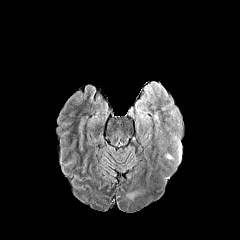
FLAIR magnetic resonance.
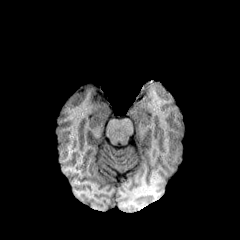
Same slice, T1-weighted MR.
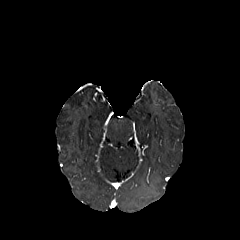
Same slice, post-contrast T1-weighted magnetic resonance.
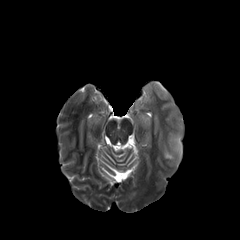
T2-weighted MRI.
Axial view; Brain; 240x240 px
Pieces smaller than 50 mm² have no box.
The 2 largest peritumoral edema regions are bounded by {"x1": 172, "y1": 133, "x2": 181, "y2": 162}, {"x1": 130, "y1": 82, "x2": 161, "y2": 131}.